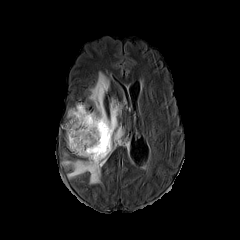
FLAIR magnetic resonance.
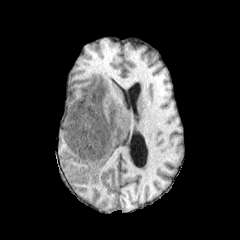
T1-weighted magnetic resonance.
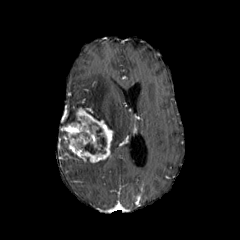
Post-contrast T1-weighted MR.
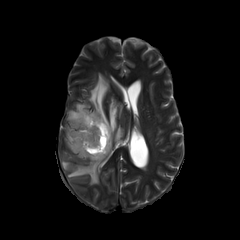
T2-weighted MRI of the same slice.
240x240 px, Axial view, Head
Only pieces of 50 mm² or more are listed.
<segmentation>
  <necrotic_tumor_core>left=82, top=128, right=106, bottom=154</necrotic_tumor_core>
  <enhancing_tumor>left=62, top=107, right=113, bottom=162</enhancing_tumor>
  <peritumoral_edema>left=66, top=103, right=87, bottom=124; left=87, top=72, right=124, bottom=152; left=62, top=158, right=107, bottom=184</peritumoral_edema>
</segmentation>